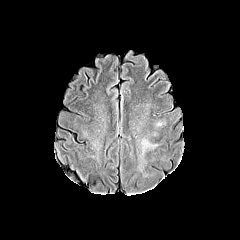
FLAIR MR.
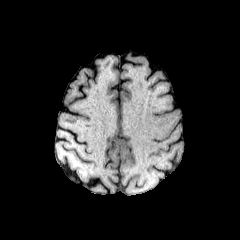
T1-weighted magnetic resonance.
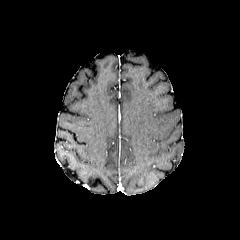
Same slice, post-contrast T1-weighted MR.
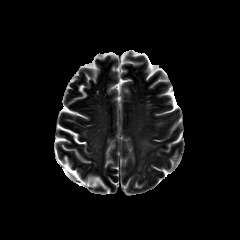
T2-weighted MR image.
Brain
Segmented structures:
* peritumoral edema: 141,138,161,155; 156,119,166,127